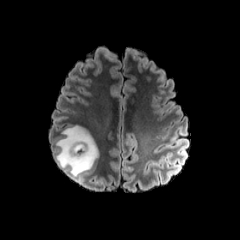
FLAIR MRI.
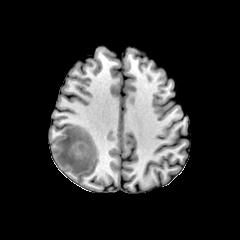
T1-weighted MR image.
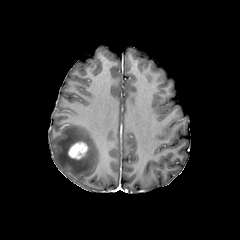
Post-contrast T1-weighted MRI.
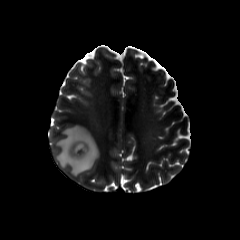
T2-weighted MRI.
Head
{"peritumoral_edema": ["box=[55, 125, 98, 178]"], "enhancing_tumor": ["box=[67, 141, 88, 159]"]}